FLAIR magnetic resonance.
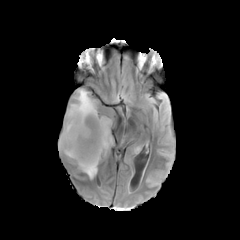
T1-weighted magnetic resonance.
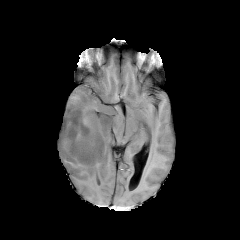
Post-contrast T1-weighted MRI.
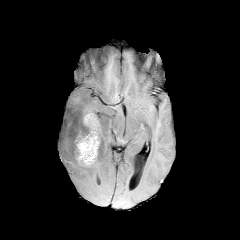
T2-weighted MR.
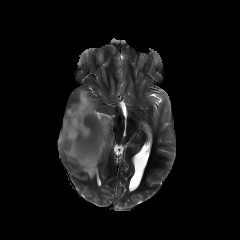
Brain; Axial slice
enhancing tumor: bounding box box=[75, 113, 100, 166]
peritumoral edema: bounding box box=[58, 88, 112, 179]